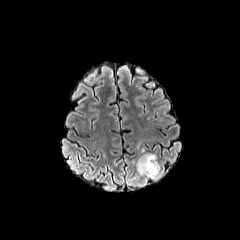
FLAIR MRI.
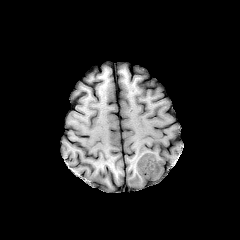
T1-weighted MRI.
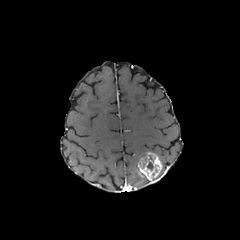
Post-contrast T1-weighted MR image.
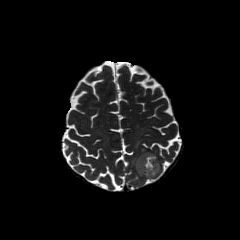
T2-weighted MR image.
240x240. Axial view.
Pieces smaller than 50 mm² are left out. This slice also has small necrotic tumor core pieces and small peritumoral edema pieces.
enhancing_tumor:
  - {"x1": 138, "y1": 152, "x2": 162, "y2": 179}